FLAIR MR.
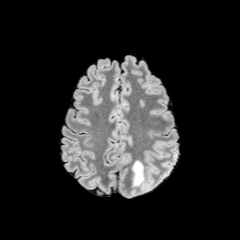
T1-weighted MR image.
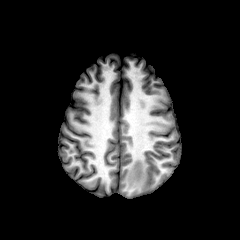
Post-contrast T1-weighted MR image.
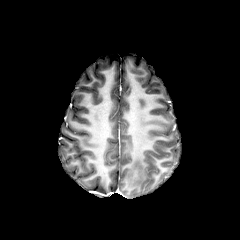
T2-weighted MR image.
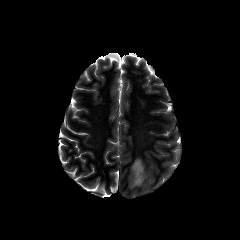
The peritumoral edema is bounded by (left=132, top=160, right=144, bottom=186).